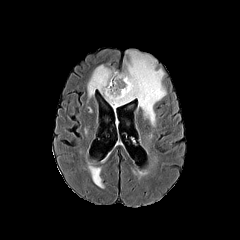
FLAIR MR image.
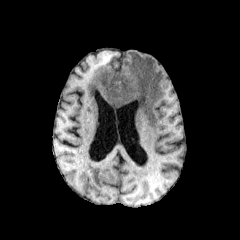
T1-weighted MR image.
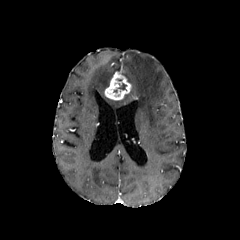
Same slice, post-contrast T1-weighted MR image.
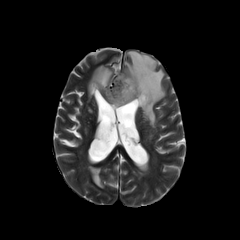
T2-weighted magnetic resonance of the same slice.
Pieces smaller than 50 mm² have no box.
enhancing tumor: {"x1": 104, "y1": 71, "x2": 131, "y2": 100}
necrotic tumor core: {"x1": 114, "y1": 83, "x2": 126, "y2": 92}
peritumoral edema: {"x1": 104, "y1": 51, "x2": 166, "y2": 125}, {"x1": 87, "y1": 64, "x2": 114, "y2": 97}, {"x1": 89, "y1": 166, "x2": 103, "y2": 188}